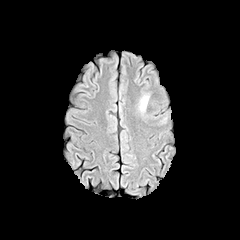
FLAIR MRI.
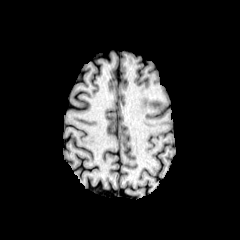
T1-weighted MRI.
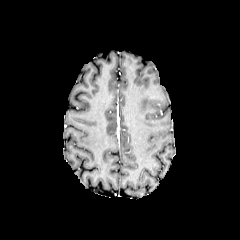
Post-contrast T1-weighted MR of the same slice.
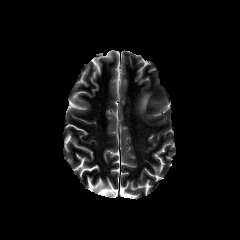
Same slice, T2-weighted MR.
240x240
Findings:
• peritumoral edema: x1=139, y1=95, x2=149, y2=113